240x240, Slice 103/155
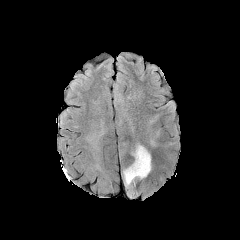
FLAIR MR image.
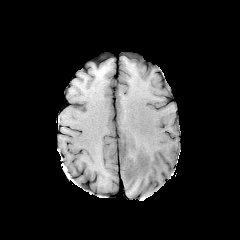
T1-weighted magnetic resonance of the same slice.
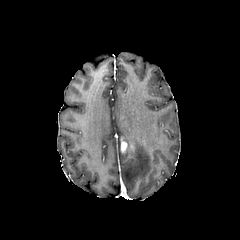
Post-contrast T1-weighted MR image of the same slice.
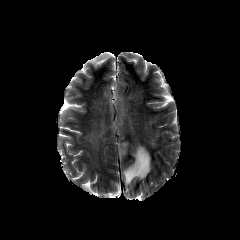
Same slice, T2-weighted MR.
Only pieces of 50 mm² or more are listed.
enhancing tumor — bbox(121, 142, 127, 152)
peritumoral edema — bbox(122, 143, 151, 196)